Slice index 33, Head, Image width 240 mm, 1.00 mm slice spacing, 240x240
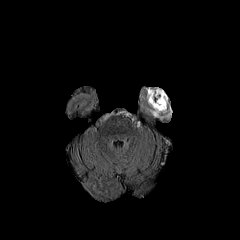
FLAIR MR.
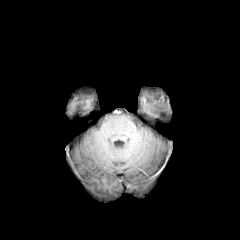
T1-weighted MR.
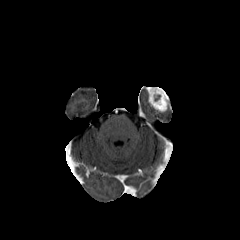
Post-contrast T1-weighted magnetic resonance of the same slice.
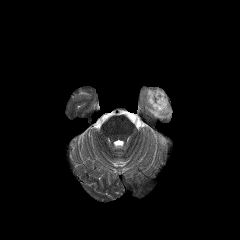
T2-weighted MR image of the same slice.
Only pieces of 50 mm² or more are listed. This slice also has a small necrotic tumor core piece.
<segmentation>
  <peritumoral_edema>bbox=[148, 107, 160, 116]</peritumoral_edema>
  <enhancing_tumor>bbox=[147, 87, 168, 113]</enhancing_tumor>
</segmentation>